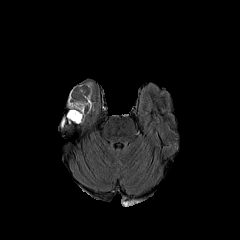
FLAIR MR.
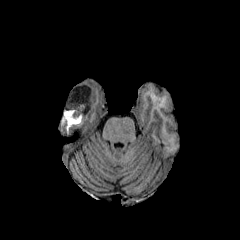
T1-weighted magnetic resonance.
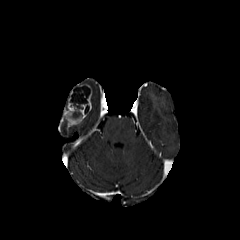
Post-contrast T1-weighted MRI.
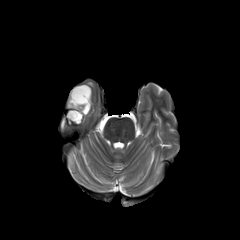
T2-weighted MR.
Axial view
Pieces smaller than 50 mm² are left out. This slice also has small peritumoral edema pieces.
The largest enhancing tumor region lies within rect(67, 84, 91, 121). The 2 largest necrotic tumor core regions appear at rect(70, 85, 90, 109); rect(68, 110, 82, 121).